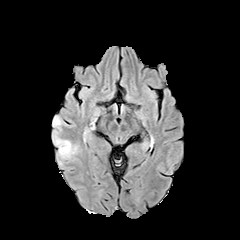
FLAIR MRI.
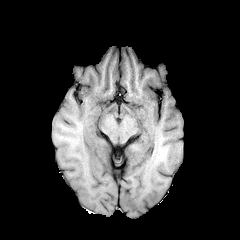
T1-weighted MRI.
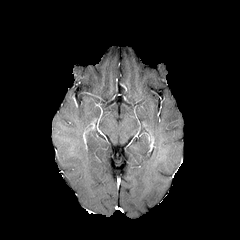
Same slice, post-contrast T1-weighted MR.
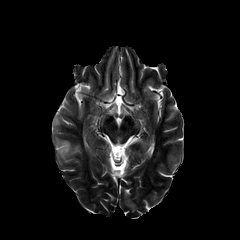
T2-weighted MR.
Axial view. Head. Image size 240x240.
Segmented structures:
• peritumoral edema: (54, 137, 78, 158)